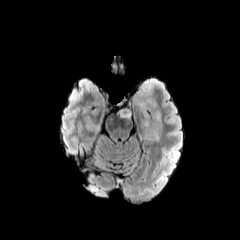
FLAIR MR.
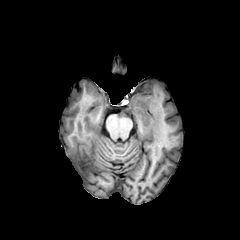
Same slice, T1-weighted magnetic resonance.
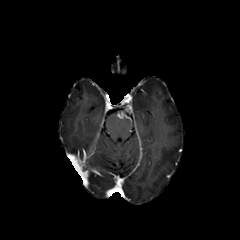
Same slice, post-contrast T1-weighted MR image.
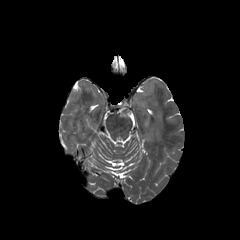
Same slice, T2-weighted MR image.
Axial view; Head; 240x240
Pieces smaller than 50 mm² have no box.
<segmentation>
  <peritumoral_edema>[x1=135, y1=96, x2=161, y2=141]</peritumoral_edema>
  <enhancing_tumor>[x1=117, y1=104, x2=131, y2=118]</enhancing_tumor>
</segmentation>